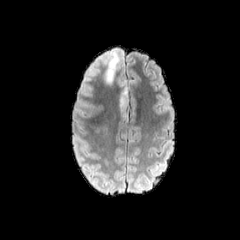
FLAIR MRI.
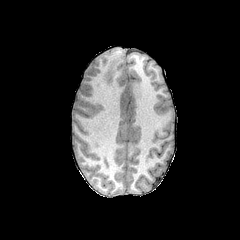
T1-weighted MR image of the same slice.
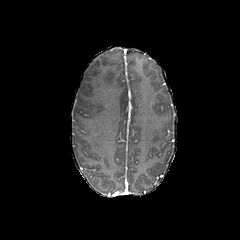
Post-contrast T1-weighted MR image of the same slice.
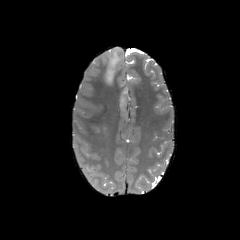
T2-weighted MR of the same slice.
Image size 240x240 | Brain
Findings:
• peritumoral edema: [x1=80, y1=116, x2=108, y2=141], [x1=117, y1=78, x2=136, y2=121], [x1=100, y1=51, x2=119, y2=88]